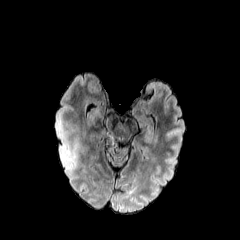
FLAIR MRI.
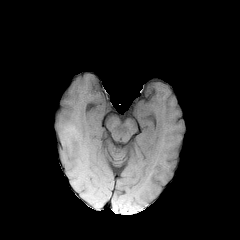
Same slice, T1-weighted MR image.
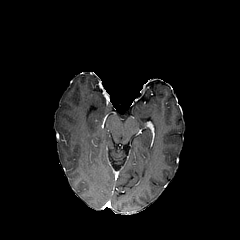
Post-contrast T1-weighted MR.
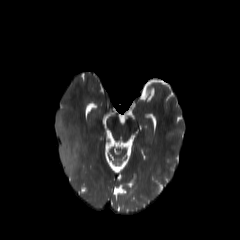
T2-weighted magnetic resonance.
240x240 px, Axial view
peritumoral edema — x1=56 y1=115 x2=79 y2=179